FLAIR MR.
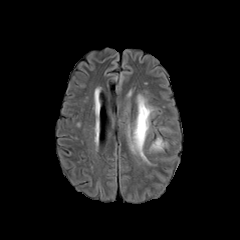
T1-weighted MRI.
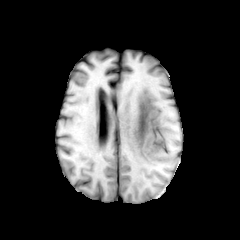
Post-contrast T1-weighted MR.
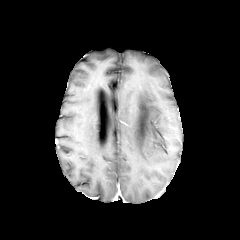
T2-weighted MR.
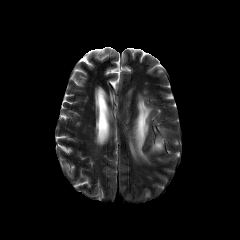
Brain. Axial view.
2 peritumoral edema regions are bounded by 130,95,152,162; 151,138,164,150.